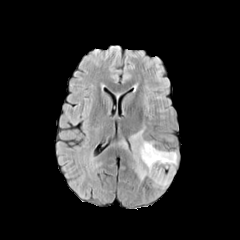
FLAIR MRI.
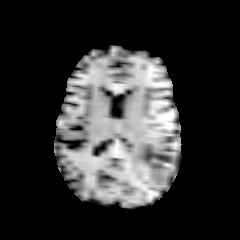
Same slice, T1-weighted magnetic resonance.
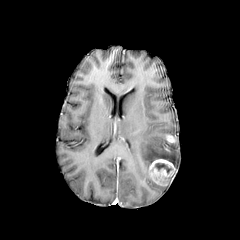
Post-contrast T1-weighted magnetic resonance.
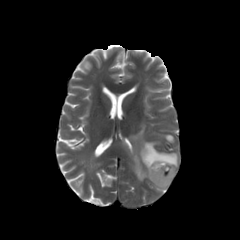
Same slice, T2-weighted MR image.
Head
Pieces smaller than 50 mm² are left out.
Segmented structures:
* enhancing tumor: box=[149, 159, 175, 185]; box=[166, 135, 174, 142]
* necrotic tumor core: box=[155, 163, 171, 172]
* peritumoral edema: box=[130, 125, 177, 180]